FLAIR MR image.
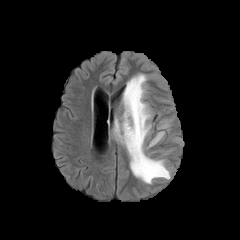
T1-weighted MR image.
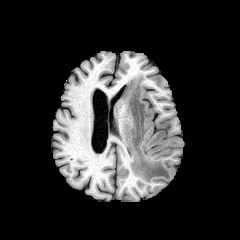
Post-contrast T1-weighted MR.
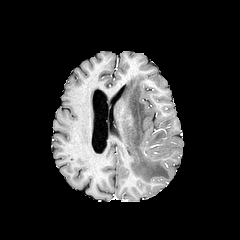
T2-weighted MR image.
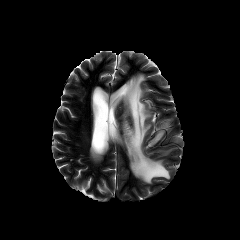
Brain
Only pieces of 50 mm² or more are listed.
peritumoral edema: x1=149, y1=131, x2=164, y2=146; x1=115, y1=74, x2=170, y2=183